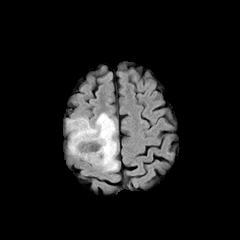
FLAIR magnetic resonance.
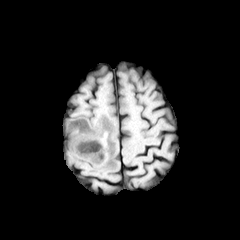
T1-weighted MRI.
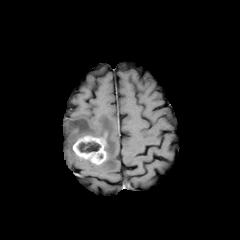
Post-contrast T1-weighted MR.
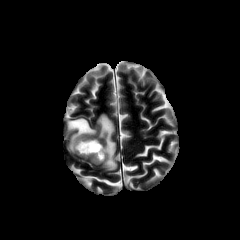
T2-weighted MRI.
Head
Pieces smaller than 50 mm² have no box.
The largest necrotic tumor core region is bounded by bbox=[78, 141, 100, 152]. The largest peritumoral edema region is bounded by bbox=[66, 113, 118, 171]. The enhancing tumor lies within bbox=[73, 135, 107, 164].